Head, Slice index 98, Image width 240 mm
FLAIR MRI.
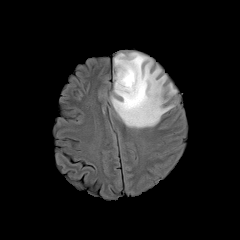
T1-weighted MR image.
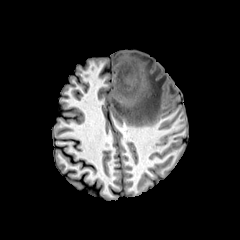
Post-contrast T1-weighted MRI.
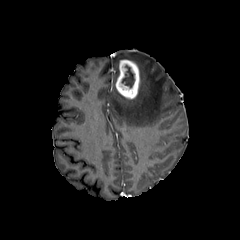
T2-weighted magnetic resonance.
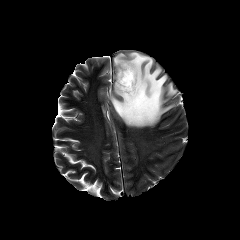
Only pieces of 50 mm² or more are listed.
enhancing tumor: bounding box bbox(115, 59, 139, 99)
peritumoral edema: bounding box bbox(110, 52, 176, 128)
necrotic tumor core: bounding box bbox(121, 65, 134, 88)